FLAIR magnetic resonance.
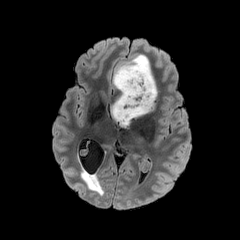
T1-weighted MR.
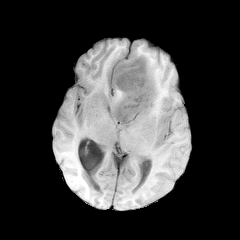
Post-contrast T1-weighted MR.
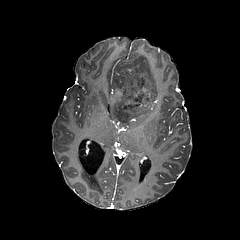
T2-weighted MR image.
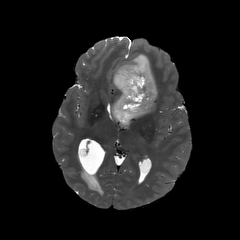
240x240 px, Head
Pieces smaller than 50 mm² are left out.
peritumoral edema — (111,53,157,121), (130,108,151,121)
necrotic tumor core — (115,59,154,123)